Slice index 107, Image width 240 mm, Axial plane
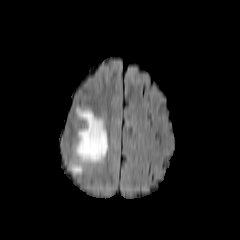
FLAIR MR.
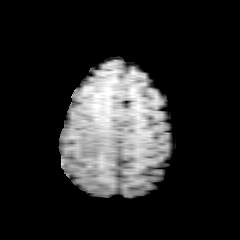
T1-weighted magnetic resonance.
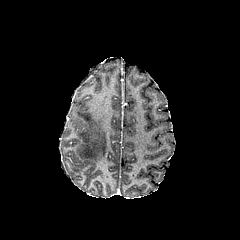
Post-contrast T1-weighted MR image.
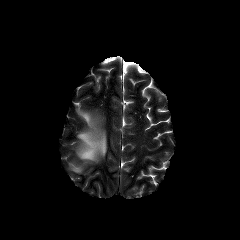
Same slice, T2-weighted MR.
2 peritumoral edema regions appear at (76, 108, 107, 162), (71, 165, 82, 173).